240x240 px
FLAIR magnetic resonance.
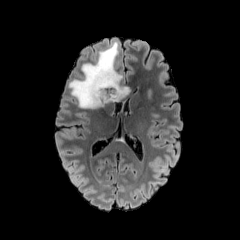
T1-weighted MR.
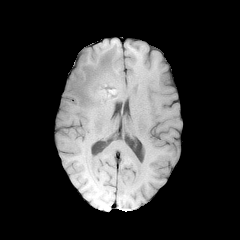
Post-contrast T1-weighted MRI.
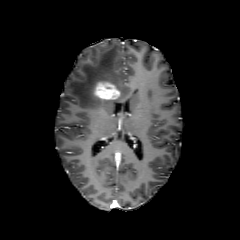
T2-weighted MR.
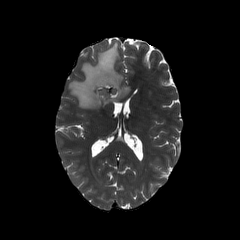
The enhancing tumor lies within (94, 82, 120, 99). The peritumoral edema appears at (68, 42, 129, 109).